FLAIR MRI.
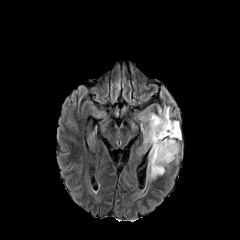
T1-weighted MRI.
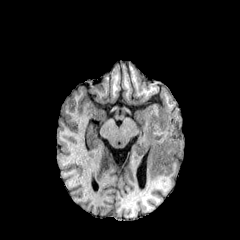
Post-contrast T1-weighted magnetic resonance.
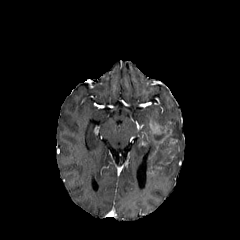
T2-weighted MR image.
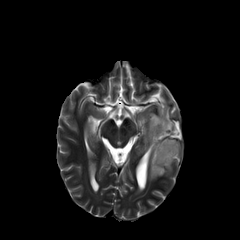
Head.
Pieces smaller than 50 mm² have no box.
The necrotic tumor core appears at (x1=150, y1=118, x2=176, y2=174). The largest enhancing tumor region is located at (x1=149, y1=119, x2=167, y2=134). The 3 largest peritumoral edema regions appear at (x1=173, y1=142, x2=179, y2=158), (x1=148, y1=152, x2=168, y2=179), (x1=140, y1=107, x2=180, y2=151).